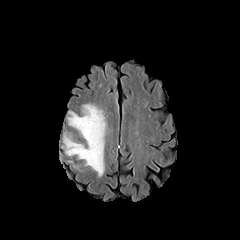
FLAIR magnetic resonance.
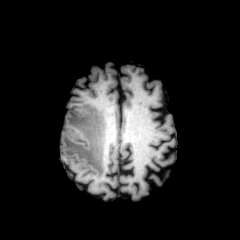
T1-weighted MR.
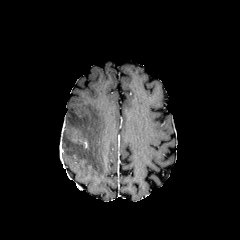
Post-contrast T1-weighted magnetic resonance of the same slice.
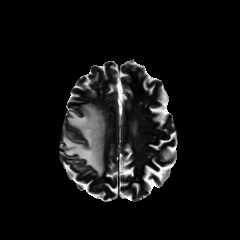
T2-weighted MR of the same slice.
Axial view, Head, 240x240
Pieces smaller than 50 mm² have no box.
The largest peritumoral edema region is bounded by left=63, top=103, right=106, bottom=176.